FLAIR MR.
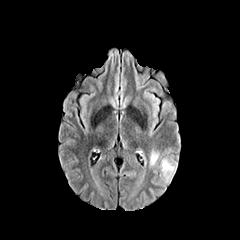
T1-weighted MRI.
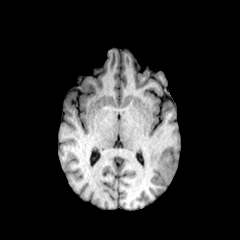
Post-contrast T1-weighted MRI.
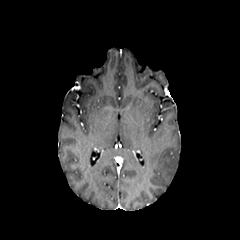
T2-weighted MR image.
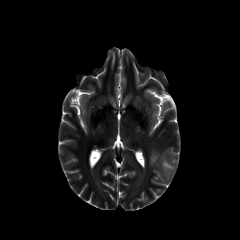
Axial slice. 240x240 px.
Annotated regions:
- peritumoral edema: rect(150, 151, 159, 166); rect(159, 158, 176, 181)